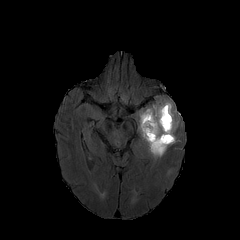
FLAIR MRI.
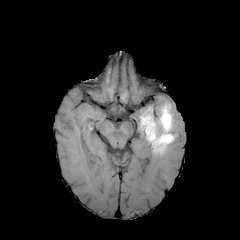
T1-weighted MR image.
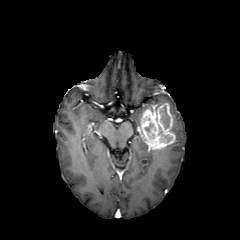
Post-contrast T1-weighted MRI.
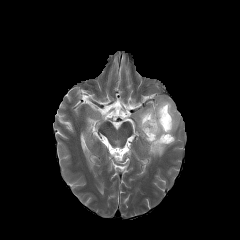
T2-weighted magnetic resonance.
Axial slice; Image size 240x240; Brain
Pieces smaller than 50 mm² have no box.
peritumoral_edema:
  - left=153, top=97, right=179, bottom=133
  - left=148, top=145, right=170, bottom=157
  - left=138, top=106, right=152, bottom=126
necrotic_tumor_core:
  - left=161, top=106, right=170, bottom=128
enhancing_tumor:
  - left=139, top=103, right=175, bottom=149